240x240 px
FLAIR magnetic resonance.
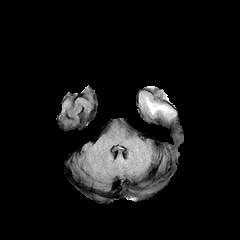
T1-weighted MR image.
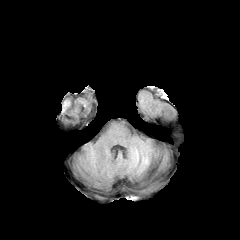
Post-contrast T1-weighted magnetic resonance.
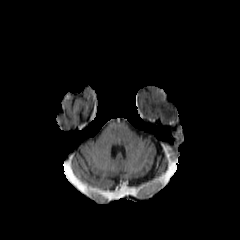
T2-weighted MRI.
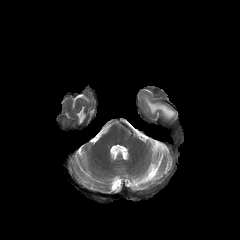
peritumoral edema — left=142, top=94, right=175, bottom=118